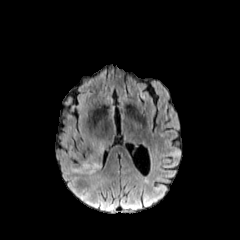
FLAIR MRI.
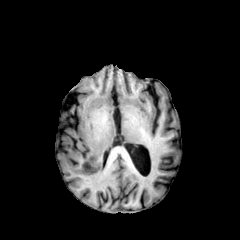
T1-weighted MR of the same slice.
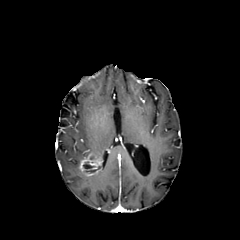
Post-contrast T1-weighted MRI.
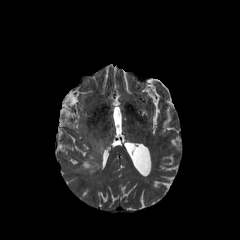
T2-weighted magnetic resonance of the same slice.
Brain
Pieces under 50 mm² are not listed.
Segmented structures:
- necrotic tumor core: (left=83, top=163, right=95, bottom=172)
- peritumoral edema: (left=89, top=171, right=103, bottom=186), (left=91, top=141, right=105, bottom=156)
- enhancing tumor: (left=79, top=153, right=101, bottom=175)